FLAIR MR.
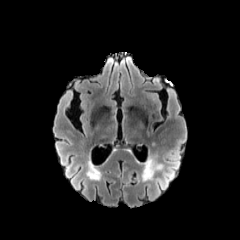
T1-weighted magnetic resonance.
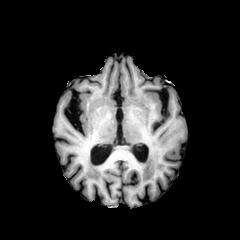
Post-contrast T1-weighted MR image.
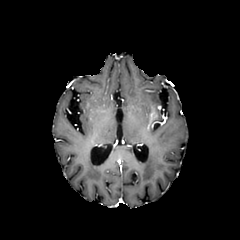
T2-weighted magnetic resonance.
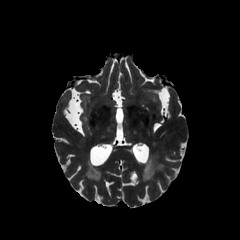
Head | Image size 240x240 | Axial plane
peritumoral edema: [x1=141, y1=155, x2=164, y2=181]